Slice index 87, Head
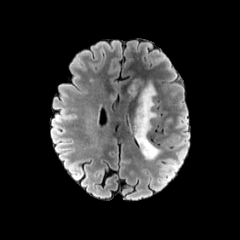
FLAIR magnetic resonance.
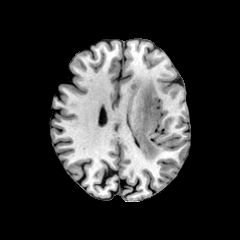
T1-weighted MR of the same slice.
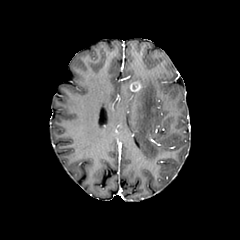
Post-contrast T1-weighted MRI.
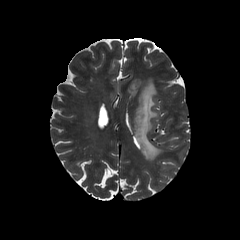
Same slice, T2-weighted MR image.
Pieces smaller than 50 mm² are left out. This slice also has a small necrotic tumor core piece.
enhancing tumor at x1=130 y1=81 x2=141 y2=91
peritumoral edema at x1=134 y1=80 x2=161 y2=160